FLAIR MR.
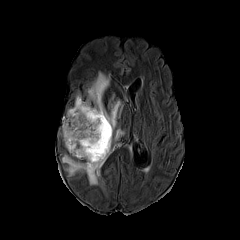
T1-weighted MR image.
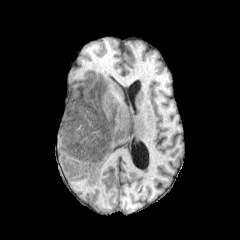
Post-contrast T1-weighted MRI.
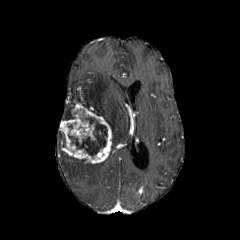
T2-weighted magnetic resonance.
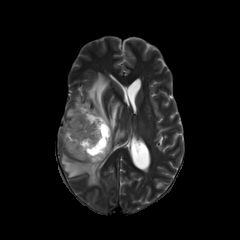
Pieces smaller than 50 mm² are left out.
The largest enhancing tumor region is bounded by (left=59, top=102, right=112, bottom=163). The largest necrotic tumor core region appears at (left=68, top=117, right=107, bottom=156). The 3 largest peritumoral edema regions appear at (left=61, top=154, right=105, bottom=185), (left=76, top=72, right=124, bottom=142), (left=66, top=108, right=72, bottom=119).